Brain; Axial slice
FLAIR MR.
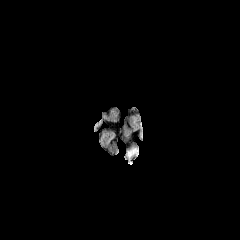
T1-weighted MR image.
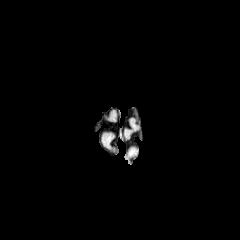
Post-contrast T1-weighted magnetic resonance.
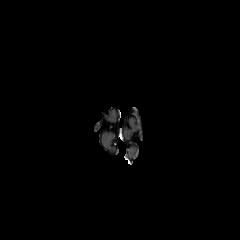
T2-weighted MRI.
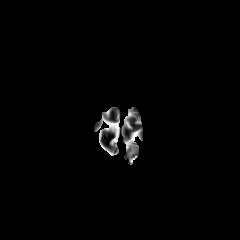
Annotated regions:
* peritumoral edema: 127,147,136,157